Axial slice | Head | Slice 71 of 155
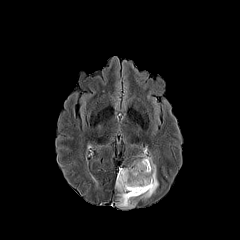
FLAIR MRI.
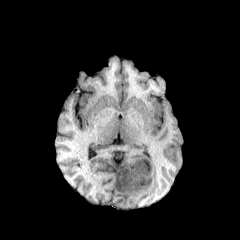
T1-weighted MR.
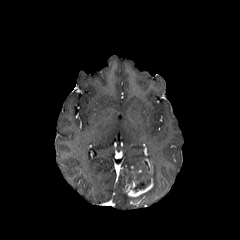
Post-contrast T1-weighted magnetic resonance.
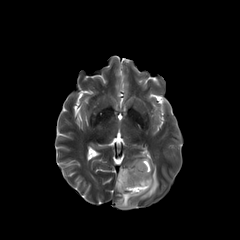
Same slice, T2-weighted magnetic resonance.
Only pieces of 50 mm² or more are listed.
{"necrotic_tumor_core": ["bbox=[133, 179, 150, 191]"], "peritumoral_edema": ["bbox=[115, 154, 158, 208]"], "enhancing_tumor": ["bbox=[122, 166, 153, 197]", "bbox=[142, 158, 152, 174]"]}